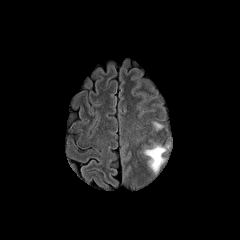
FLAIR MRI.
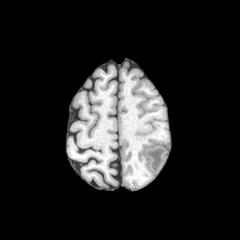
T1-weighted MRI.
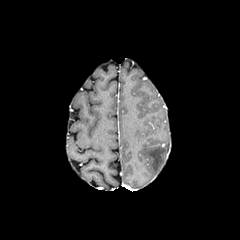
Same slice, post-contrast T1-weighted MRI.
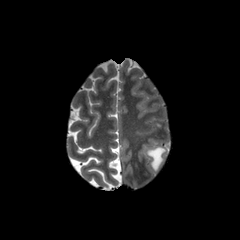
Same slice, T2-weighted MRI.
Brain
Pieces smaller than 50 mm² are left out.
peritumoral edema at bbox(145, 146, 165, 172)